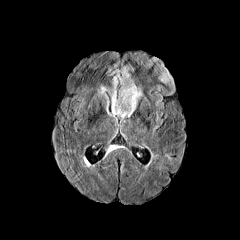
FLAIR MR.
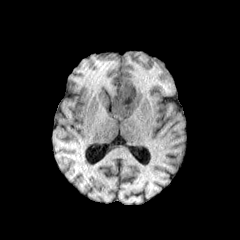
T1-weighted MR.
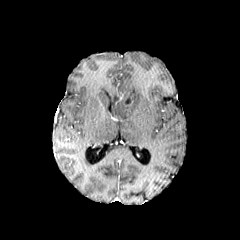
Post-contrast T1-weighted MRI.
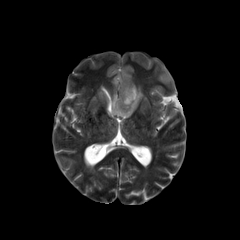
T2-weighted MR.
Head; Axial slice; Image size 240x240
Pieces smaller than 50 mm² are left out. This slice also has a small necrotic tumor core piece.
Findings:
- enhancing tumor: left=115, top=91, right=133, bottom=106
- peritumoral edema: left=98, top=67, right=142, bottom=118